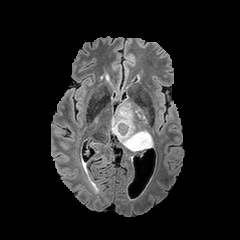
FLAIR magnetic resonance.
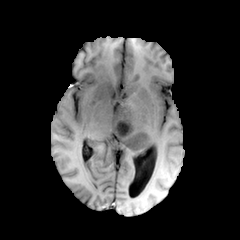
T1-weighted MRI of the same slice.
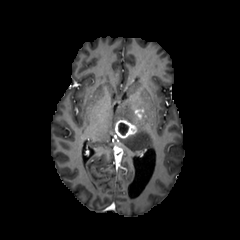
Same slice, post-contrast T1-weighted MRI.
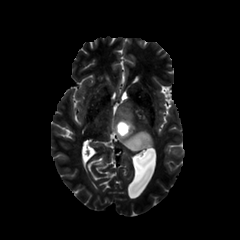
Same slice, T2-weighted MR.
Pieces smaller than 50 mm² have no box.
enhancing_tumor:
  - [x1=116, y1=121, x2=136, y2=137]
necrotic_tumor_core:
  - [x1=118, y1=123, x2=128, y2=134]
peritumoral_edema:
  - [x1=112, y1=100, x2=152, y2=150]